FLAIR MR image.
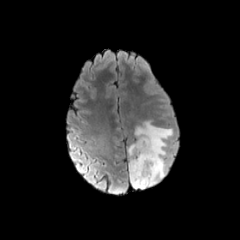
T1-weighted MR.
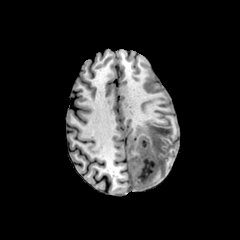
Post-contrast T1-weighted magnetic resonance.
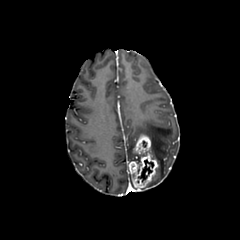
T2-weighted MRI.
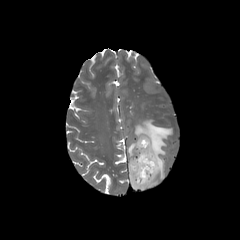
Head | 240x240 | Axial slice
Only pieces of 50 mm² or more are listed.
<segmentation>
  <enhancing_tumor>(128, 134, 158, 188)</enhancing_tumor>
  <necrotic_tumor_core>(138, 159, 153, 182)</necrotic_tumor_core>
  <peritumoral_edema>(134, 120, 172, 189), (128, 143, 139, 161)</peritumoral_edema>
</segmentation>